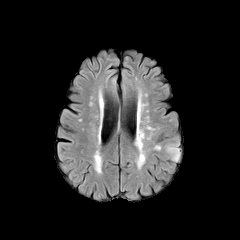
FLAIR magnetic resonance.
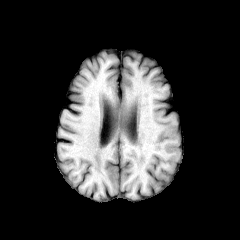
T1-weighted magnetic resonance of the same slice.
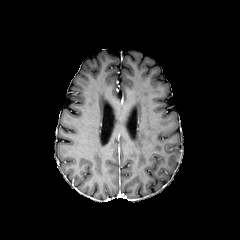
Same slice, post-contrast T1-weighted MR image.
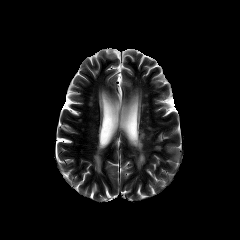
T2-weighted MR.
peritumoral_edema:
  - (166,143,180,161)